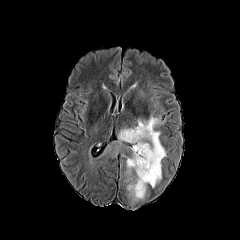
FLAIR MR image.
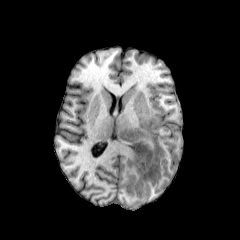
T1-weighted MRI.
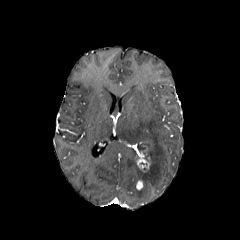
Post-contrast T1-weighted MRI of the same slice.
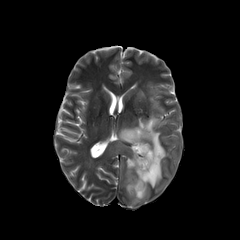
T2-weighted MR image.
240x240 px.
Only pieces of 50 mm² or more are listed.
Findings:
- peritumoral edema: [103, 110, 166, 200]
- enhancing tumor: [132, 143, 151, 173], [136, 180, 143, 190]
- necrotic tumor core: [137, 143, 145, 152]